Head, 240x240 px, Slice index 33
FLAIR MR image.
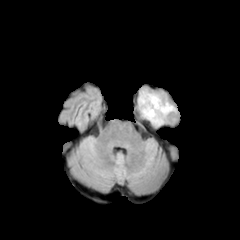
T1-weighted magnetic resonance.
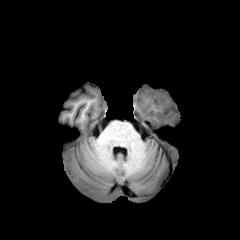
Post-contrast T1-weighted MR image.
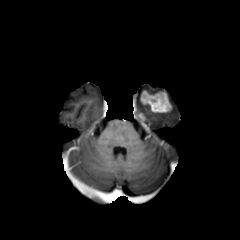
T2-weighted MR.
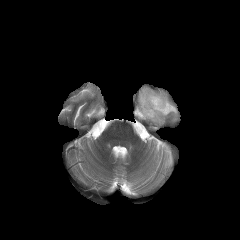
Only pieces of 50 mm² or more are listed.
peritumoral edema — [138, 88, 177, 125]
enhancing tumor — [140, 90, 171, 112]